FLAIR MR.
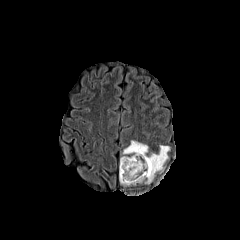
T1-weighted MR image.
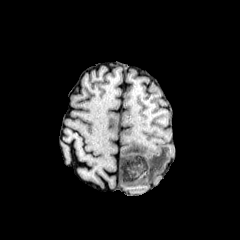
Post-contrast T1-weighted MR image.
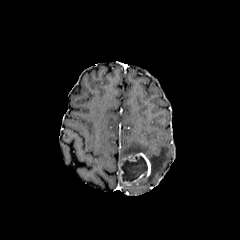
T2-weighted MRI.
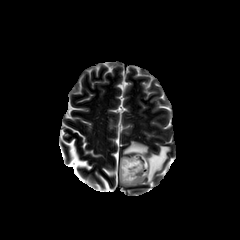
Brain; Axial slice; 240x240 px
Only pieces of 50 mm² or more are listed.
The enhancing tumor is located at bbox(119, 153, 151, 186). The necrotic tumor core lies within bbox(121, 156, 147, 181). The 2 largest peritumoral edema regions are bounded by bbox(120, 140, 148, 161); bbox(139, 145, 170, 184).